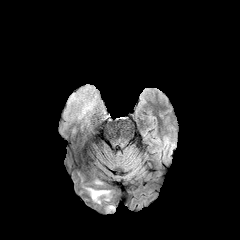
FLAIR magnetic resonance.
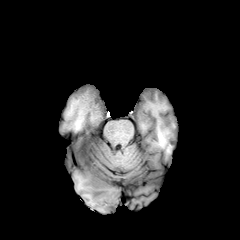
T1-weighted MRI.
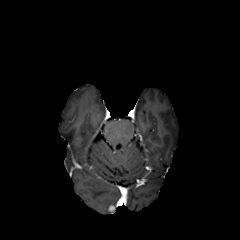
Post-contrast T1-weighted MRI of the same slice.
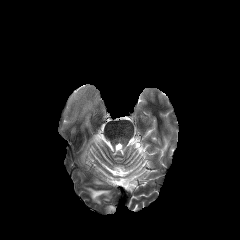
T2-weighted MR image.
Axial slice; Head
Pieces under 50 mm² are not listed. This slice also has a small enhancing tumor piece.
peritumoral_edema:
  - rect(87, 188, 110, 203)
  - rect(61, 84, 103, 128)